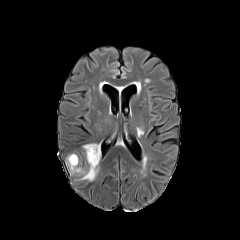
FLAIR MRI.
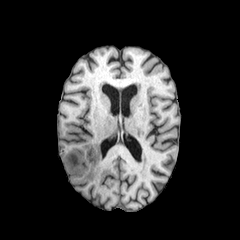
T1-weighted MRI of the same slice.
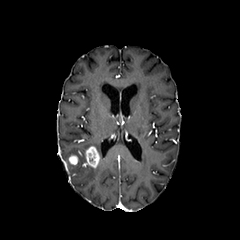
Post-contrast T1-weighted MRI.
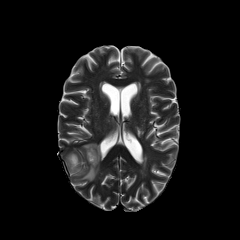
T2-weighted MR image.
Brain.
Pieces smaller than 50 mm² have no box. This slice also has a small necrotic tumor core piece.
peritumoral edema at (x1=66, y1=154, x2=98, y2=181), (x1=82, y1=143, x2=100, y2=158)
enhancing tumor at (x1=68, y1=155, x2=78, y2=165), (x1=85, y1=146, x2=99, y2=167)